Axial plane; Image covers 240 mm x 240 mm; 240x240
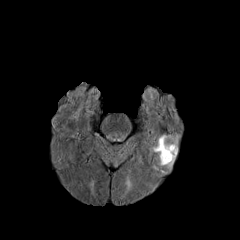
FLAIR MR image.
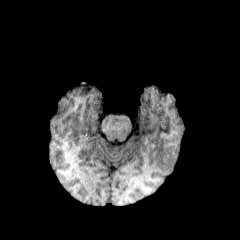
T1-weighted MR image of the same slice.
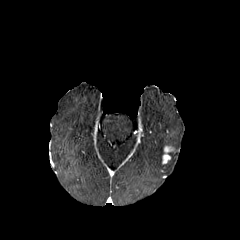
Post-contrast T1-weighted MR image.
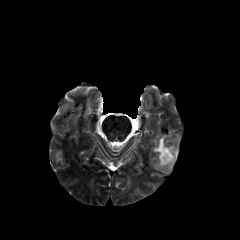
Same slice, T2-weighted MR image.
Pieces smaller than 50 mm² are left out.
The enhancing tumor is at {"x1": 162, "y1": 145, "x2": 177, "y2": 164}. The 2 largest peritumoral edema regions are bounded by {"x1": 152, "y1": 135, "x2": 176, "y2": 169}, {"x1": 168, "y1": 136, "x2": 177, "y2": 150}.